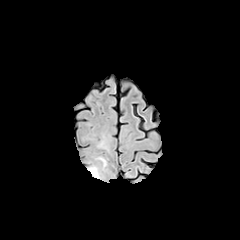
FLAIR MR.
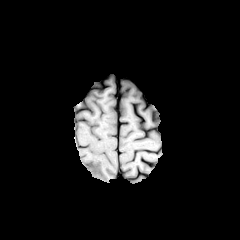
T1-weighted MRI.
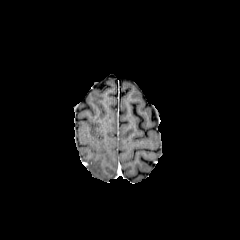
Post-contrast T1-weighted MR image of the same slice.
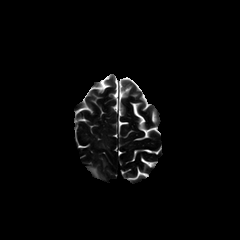
T2-weighted MRI.
Axial plane | Brain
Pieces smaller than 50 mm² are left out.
peritumoral edema: (left=88, top=167, right=100, bottom=178)